Head. 240x240 px. Axial plane.
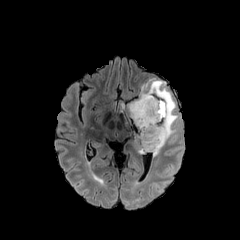
FLAIR magnetic resonance.
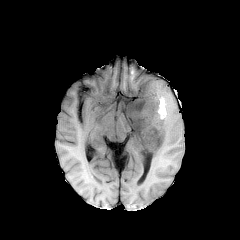
Same slice, T1-weighted MR.
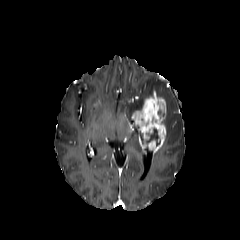
Post-contrast T1-weighted MR.
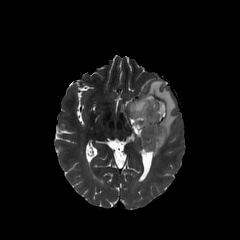
Same slice, T2-weighted MR image.
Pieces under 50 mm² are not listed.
The enhancing tumor lies within bbox(131, 90, 166, 154). The largest necrotic tumor core region appears at bbox(146, 128, 160, 144). The largest peritumoral edema region is bounded by bbox(127, 79, 180, 155).